Image covers 240 mm x 240 mm, Head, Slice index 118
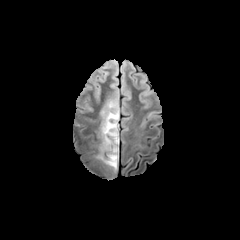
FLAIR MR.
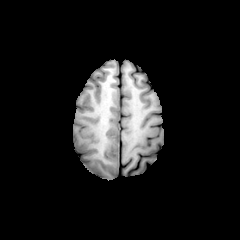
Same slice, T1-weighted magnetic resonance.
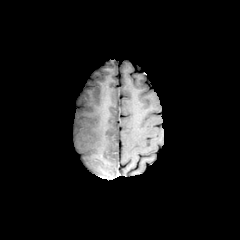
Same slice, post-contrast T1-weighted MRI.
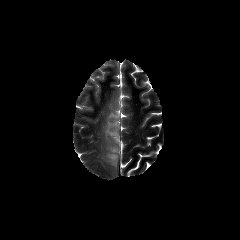
T2-weighted magnetic resonance.
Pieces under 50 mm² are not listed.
peritumoral edema: box=[102, 109, 119, 167]